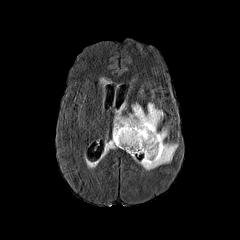
FLAIR magnetic resonance.
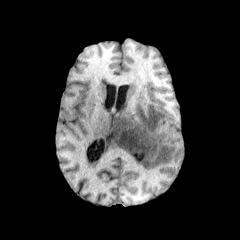
T1-weighted MRI of the same slice.
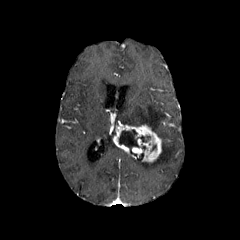
Post-contrast T1-weighted MRI.
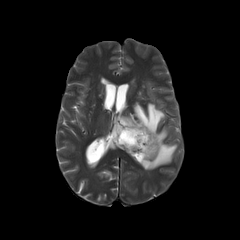
T2-weighted MRI.
240x240.
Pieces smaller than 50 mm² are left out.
The enhancing tumor is bounded by 113, 121, 161, 162. The 2 largest necrotic tumor core regions are located at 138, 136, 150, 142; 119, 129, 139, 149. The largest peritumoral edema region is bounded by 105, 103, 177, 170.